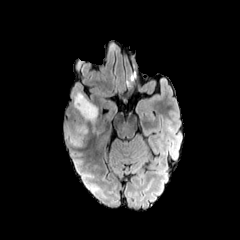
FLAIR MR.
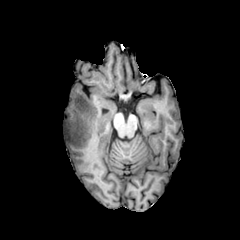
T1-weighted MR.
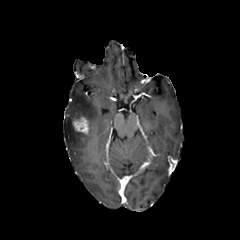
Post-contrast T1-weighted MRI.
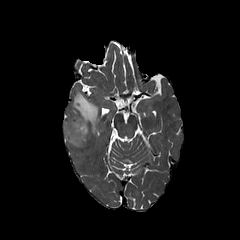
T2-weighted MR.
240x240; Axial slice
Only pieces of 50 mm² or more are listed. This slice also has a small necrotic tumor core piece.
peritumoral edema at rect(64, 92, 98, 146)
enhancing tumor at rect(72, 116, 89, 134)